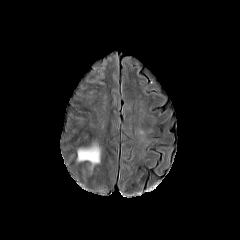
FLAIR MRI.
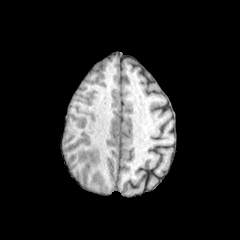
T1-weighted MR.
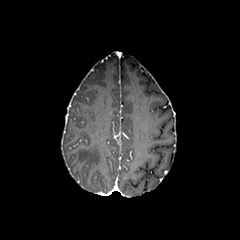
Post-contrast T1-weighted MR of the same slice.
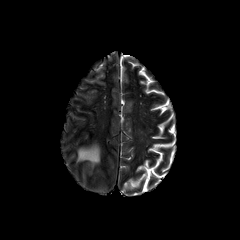
Same slice, T2-weighted MR.
Image size 240x240; Brain
{
  "peritumoral_edema": [
    "rect(77, 144, 100, 166)"
  ]
}